FLAIR MRI.
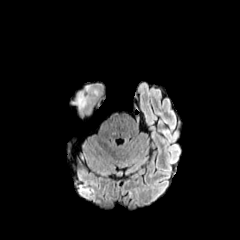
T1-weighted magnetic resonance.
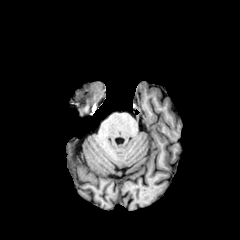
Post-contrast T1-weighted MR.
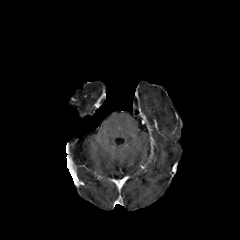
T2-weighted MR.
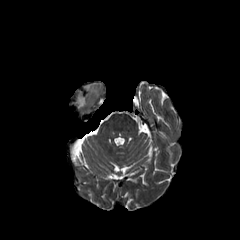
240x240 px | Axial plane
peritumoral edema — 72,85,99,109